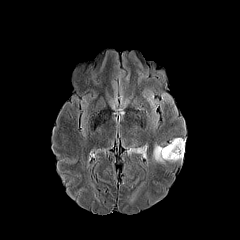
FLAIR magnetic resonance.
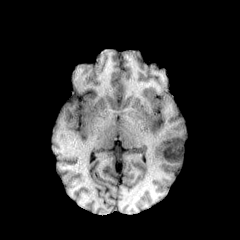
T1-weighted MR image.
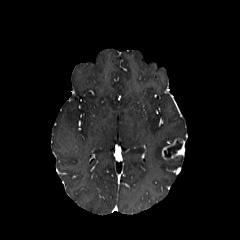
Post-contrast T1-weighted MR.
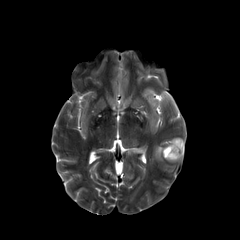
T2-weighted magnetic resonance of the same slice.
Image size 240x240
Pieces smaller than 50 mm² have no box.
Annotated regions:
* necrotic tumor core: (x1=164, y1=140, x2=182, y2=157)
* peritumoral edema: (x1=153, y1=145, x2=165, y2=163), (x1=132, y1=148, x2=143, y2=153)
* enhancing tumor: (x1=162, y1=138, x2=185, y2=160)